Image covers 240 mm x 240 mm. Axial plane.
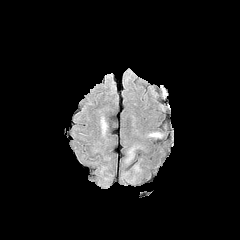
FLAIR MRI.
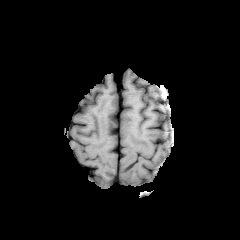
Same slice, T1-weighted MRI.
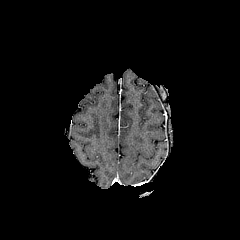
Post-contrast T1-weighted MRI of the same slice.
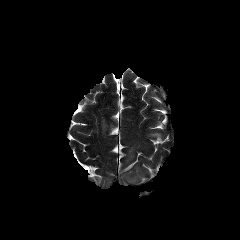
T2-weighted MR of the same slice.
peritumoral edema — 101:117:107:135, 127:147:134:161, 149:132:161:137